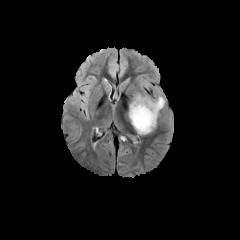
FLAIR magnetic resonance.
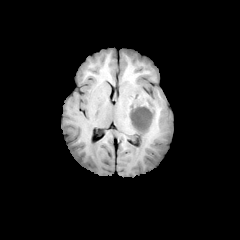
Same slice, T1-weighted MRI.
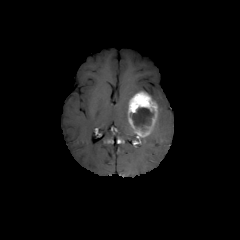
Post-contrast T1-weighted MR.
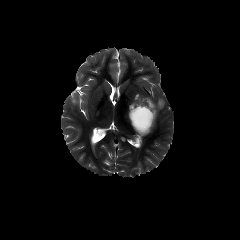
Same slice, T2-weighted MR image.
The necrotic tumor core appears at (132,108,153,126). The peritumoral edema is bounded by (155,96,164,111). The enhancing tumor appears at (128,91,158,138).